Slice index 80. Head. 240x240.
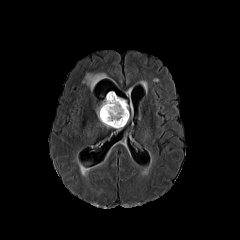
FLAIR MR.
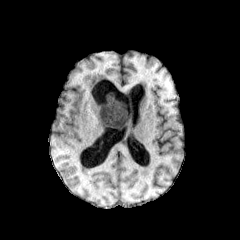
T1-weighted MRI.
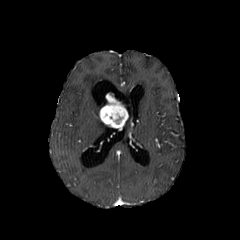
Post-contrast T1-weighted MR image.
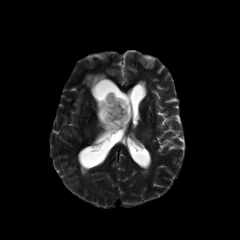
T2-weighted MR.
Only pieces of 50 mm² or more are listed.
<segmentation>
  <necrotic_tumor_core>[111, 113, 122, 123]</necrotic_tumor_core>
  <enhancing_tumor>[99, 92, 128, 128]</enhancing_tumor>
  <peritumoral_edema>[111, 92, 127, 109], [96, 99, 106, 119], [83, 73, 107, 90]</peritumoral_edema>
</segmentation>